FLAIR MRI.
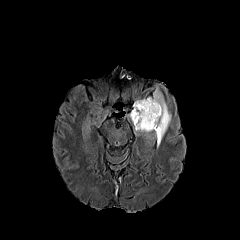
T1-weighted magnetic resonance.
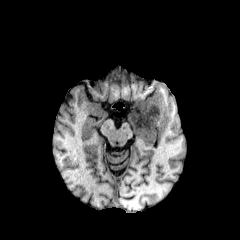
Post-contrast T1-weighted MR image.
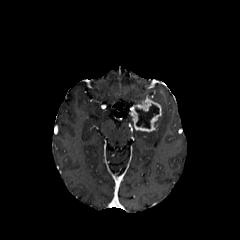
T2-weighted MR.
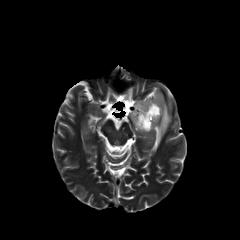
Head.
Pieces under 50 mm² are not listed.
{"enhancing_tumor": ["130 98 161 132"], "peritumoral_edema": ["134 87 171 147"], "necrotic_tumor_core": ["135 104 159 128"]}